Slice 55 of 155, Axial view, Brain
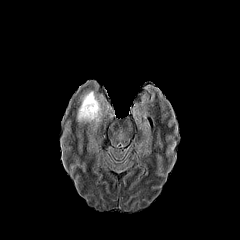
FLAIR magnetic resonance.
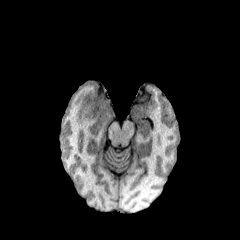
T1-weighted MR image.
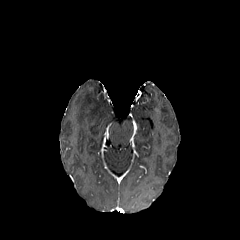
Post-contrast T1-weighted MR image.
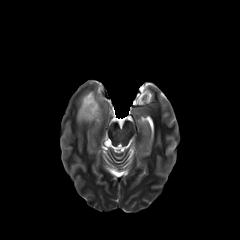
T2-weighted magnetic resonance.
Findings:
- peritumoral edema: x1=77 y1=91 x2=101 y2=121